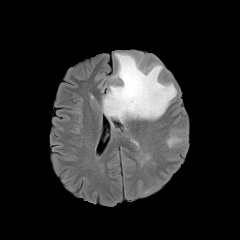
FLAIR MR.
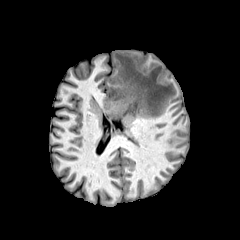
Same slice, T1-weighted MRI.
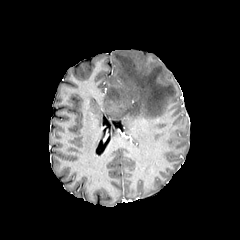
Post-contrast T1-weighted MRI.
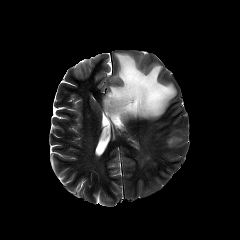
T2-weighted magnetic resonance of the same slice.
240x240 px
peritumoral_edema:
  - (x1=102, y1=53, x2=176, y2=121)
  - (x1=166, y1=129, x2=188, y2=149)